FLAIR magnetic resonance.
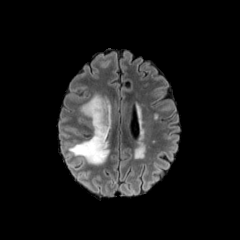
T1-weighted magnetic resonance.
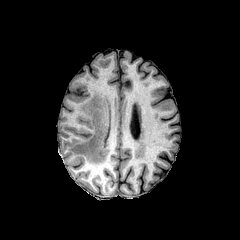
Post-contrast T1-weighted MR.
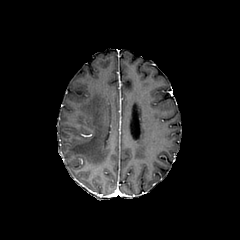
T2-weighted MR image.
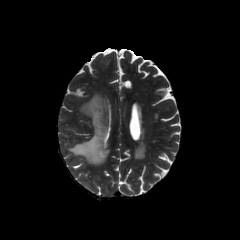
Axial slice; Head
{"peritumoral_edema": ["<box>69,95,111,165</box>"]}